Image size 240x240
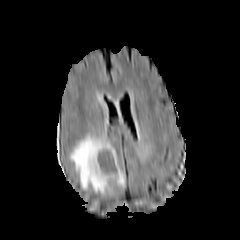
FLAIR MR.
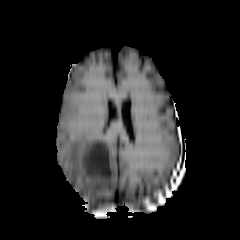
T1-weighted MR.
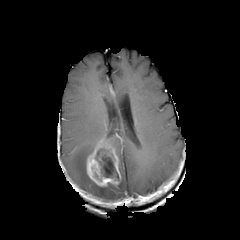
Post-contrast T1-weighted MR.
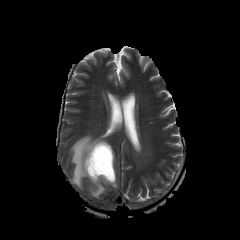
T2-weighted MRI.
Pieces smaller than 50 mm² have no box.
<segmentation>
  <enhancing_tumor>box=[86, 140, 120, 186]</enhancing_tumor>
  <necrotic_tumor_core>box=[96, 148, 118, 179]</necrotic_tumor_core>
  <peritumoral_edema>box=[70, 134, 125, 194]</peritumoral_edema>
</segmentation>